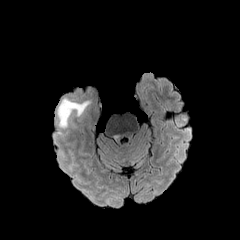
FLAIR magnetic resonance.
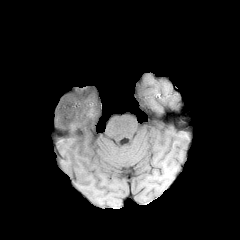
T1-weighted MR.
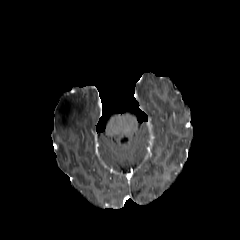
Post-contrast T1-weighted MRI.
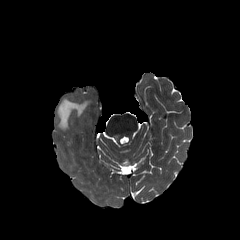
T2-weighted MRI of the same slice.
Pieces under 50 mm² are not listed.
peritumoral edema at [x1=57, y1=97, x2=88, y2=129]